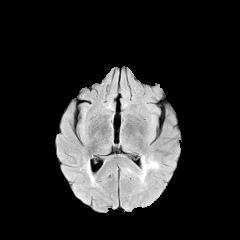
FLAIR magnetic resonance.
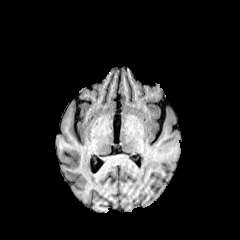
T1-weighted MR.
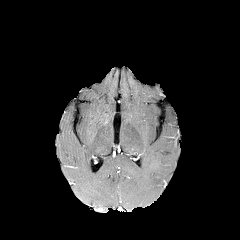
Post-contrast T1-weighted MR.
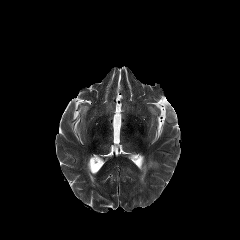
Same slice, T2-weighted MRI.
Axial view | Brain | 240x240 px
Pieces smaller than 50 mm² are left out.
The largest peritumoral edema region lies within (137,156,159,185).